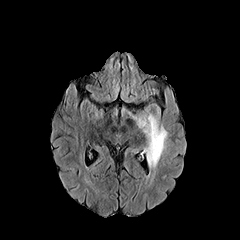
FLAIR MR.
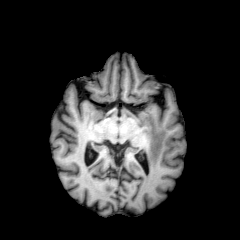
T1-weighted MR.
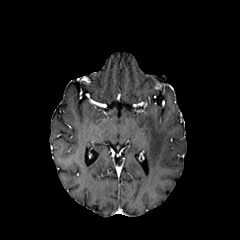
Post-contrast T1-weighted MRI.
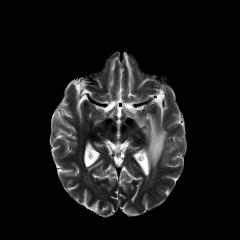
Same slice, T2-weighted magnetic resonance.
Head.
peritumoral_edema:
  - 134, 107, 167, 168